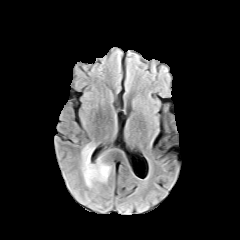
FLAIR MRI.
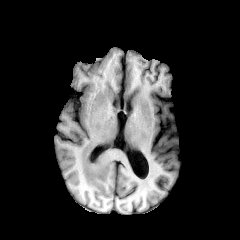
Same slice, T1-weighted MR image.
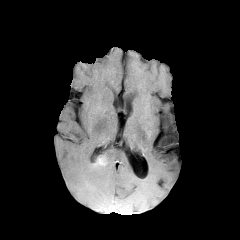
Post-contrast T1-weighted magnetic resonance of the same slice.
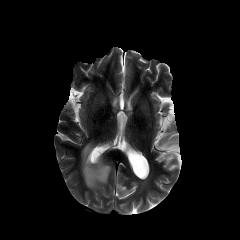
Same slice, T2-weighted MRI.
Axial view | Head
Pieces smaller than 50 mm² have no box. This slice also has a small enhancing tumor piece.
peritumoral edema — 81:143:111:188